FLAIR MRI.
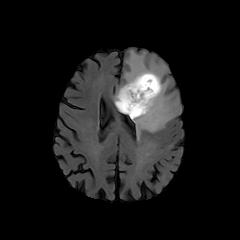
T1-weighted MR.
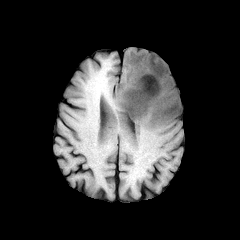
Post-contrast T1-weighted magnetic resonance.
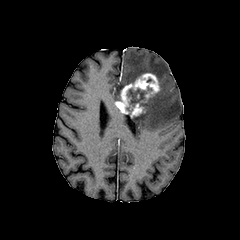
T2-weighted MR image.
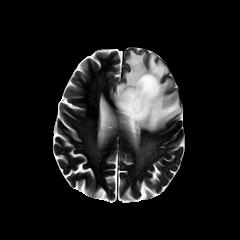
Head; 240x240 px
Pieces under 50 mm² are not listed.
* necrotic tumor core: (127,89,145,107)
* enhancing tumor: (115,73,160,117)
* peritumoral edema: (114,50,181,136)